FLAIR MR.
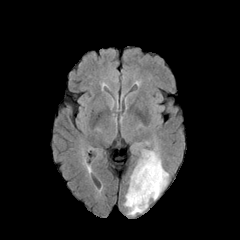
T1-weighted magnetic resonance.
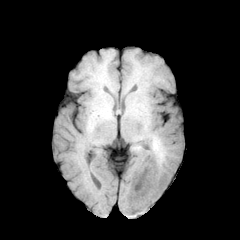
Post-contrast T1-weighted magnetic resonance.
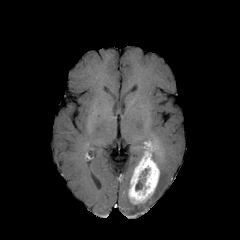
T2-weighted MR.
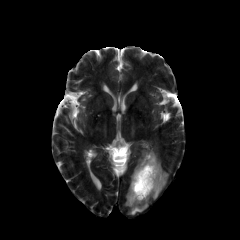
240x240 px; Axial plane; Head
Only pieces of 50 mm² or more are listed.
peritumoral edema: <bbox>124, 193, 149, 215</bbox>, <bbox>150, 149, 168, 199</bbox> | necrotic tumor core: <bbox>135, 180, 142, 190</bbox> | enhancing tumor: <bbox>128, 141, 159, 204</bbox>